FLAIR MR image.
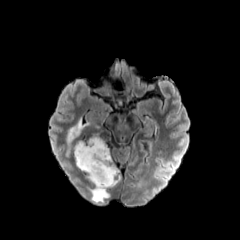
T1-weighted MR image.
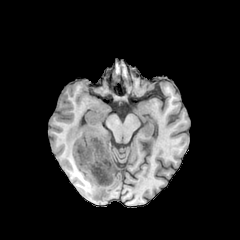
Post-contrast T1-weighted MRI.
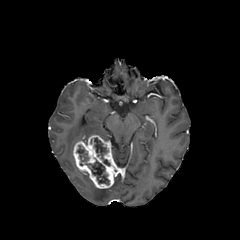
T2-weighted MR image.
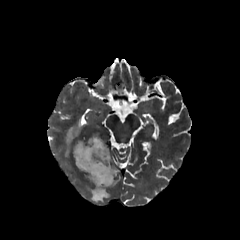
Head
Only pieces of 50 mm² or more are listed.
necrotic tumor core = l=94, t=137, r=110, b=165; l=77, t=145, r=88, b=161; l=85, t=160, r=109, b=184
enhancing tumor = l=73, t=135, r=120, b=188
peritumoral edema = l=66, t=120, r=84, b=155; l=90, t=186, r=109, b=202; l=110, t=174, r=120, b=187